Brain, 240x240 px, Slice index 71
FLAIR magnetic resonance.
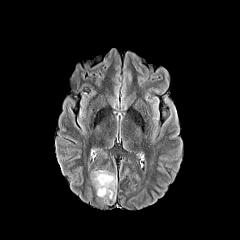
T1-weighted MR image.
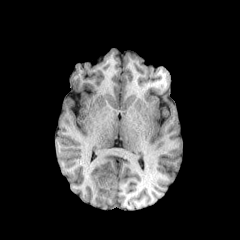
Post-contrast T1-weighted magnetic resonance.
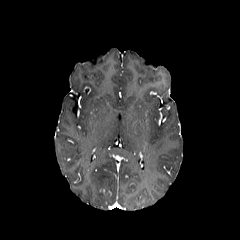
T2-weighted MR.
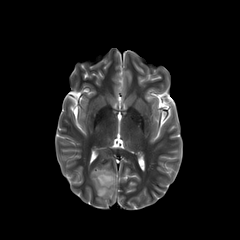
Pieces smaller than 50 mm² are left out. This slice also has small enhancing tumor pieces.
peritumoral edema: 90,170,116,202